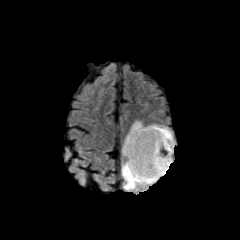
FLAIR MR image.
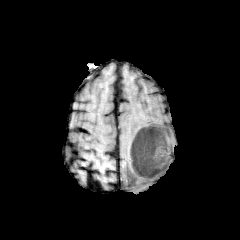
T1-weighted magnetic resonance.
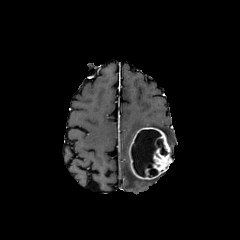
Same slice, post-contrast T1-weighted magnetic resonance.
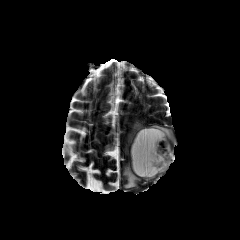
Same slice, T2-weighted MRI.
Axial plane, Brain
enhancing tumor at (x1=128, y1=127, x2=172, y2=179)
necrotic tumor core at (x1=131, y1=129, x2=167, y2=177)
peritumoral edema at (x1=122, y1=121, x2=165, y2=189), (x1=148, y1=124, x2=174, y2=157)